Slice 94 of 155; Image width 240 mm; Head; 240x240 px
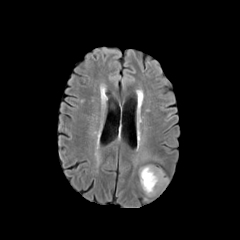
FLAIR magnetic resonance.
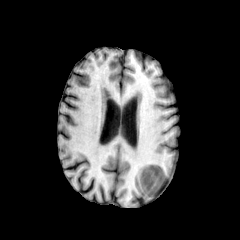
Same slice, T1-weighted MR image.
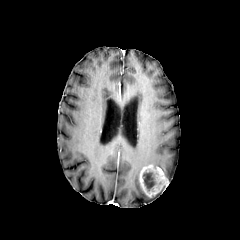
Same slice, post-contrast T1-weighted magnetic resonance.
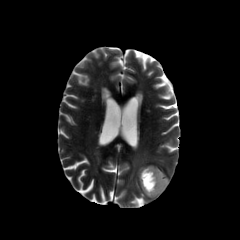
T2-weighted MR.
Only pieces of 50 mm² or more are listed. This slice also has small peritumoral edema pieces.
enhancing tumor: bounding box 139 165 168 197
necrotic tumor core: bounding box 143 172 156 190